Axial slice
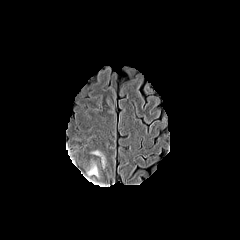
FLAIR MR.
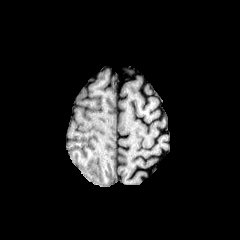
Same slice, T1-weighted MR.
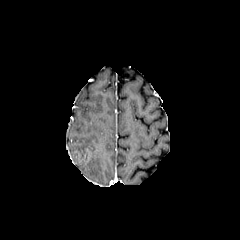
Post-contrast T1-weighted MR of the same slice.
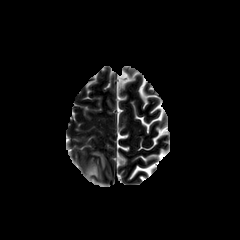
T2-weighted MR image.
peritumoral_edema:
  - rect(87, 164, 98, 176)
  - rect(93, 151, 104, 166)